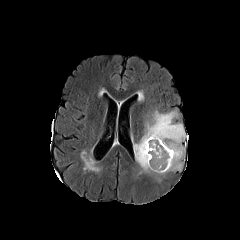
FLAIR magnetic resonance.
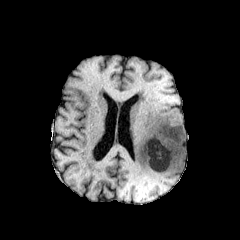
T1-weighted MRI of the same slice.
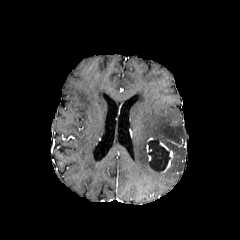
Post-contrast T1-weighted magnetic resonance.
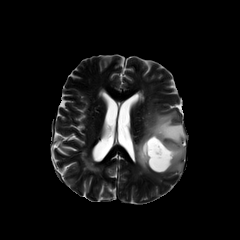
T2-weighted MR of the same slice.
Brain
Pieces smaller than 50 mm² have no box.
The largest enhancing tumor region lies within region(160, 141, 173, 171). The necrotic tumor core is located at region(147, 137, 170, 171). The peritumoral edema is at region(134, 110, 187, 175).